Slice 100 of 155. Brain. Axial slice. Image size 240x240.
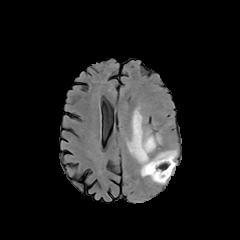
FLAIR MR.
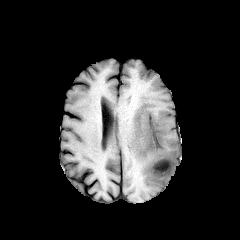
T1-weighted MR image.
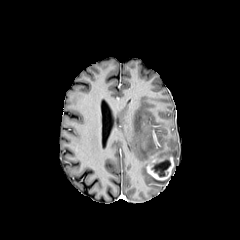
Post-contrast T1-weighted magnetic resonance of the same slice.
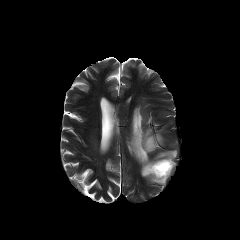
T2-weighted magnetic resonance of the same slice.
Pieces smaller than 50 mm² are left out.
The necrotic tumor core appears at [152,160,170,176]. The largest peritumoral edema region lies within [127,107,177,184]. The enhancing tumor is at [146,156,174,180].